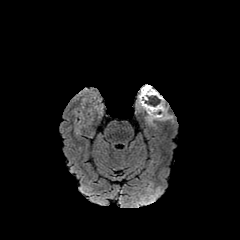
FLAIR MRI.
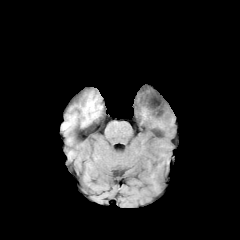
T1-weighted magnetic resonance.
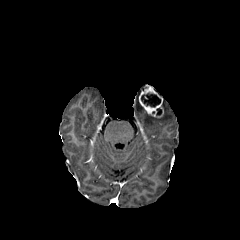
Post-contrast T1-weighted MRI of the same slice.
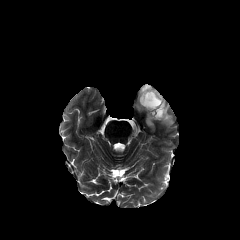
T2-weighted MRI of the same slice.
Image size 240x240, Head, Axial slice
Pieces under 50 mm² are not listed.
Annotated regions:
- necrotic tumor core: x1=143 y1=95 x2=160 y2=106
- enhancing tumor: x1=139 y1=84 x2=163 y2=117
- peritumoral edema: x1=146 y1=99 x2=173 y2=126, x1=136 y1=95 x2=144 y2=110